FLAIR MRI.
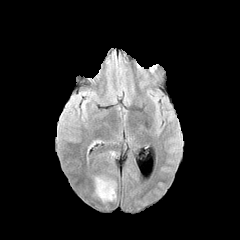
T1-weighted MR image.
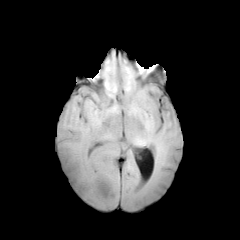
Post-contrast T1-weighted MR.
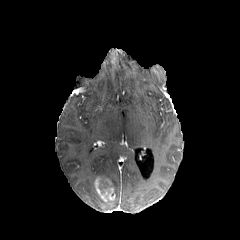
T2-weighted magnetic resonance.
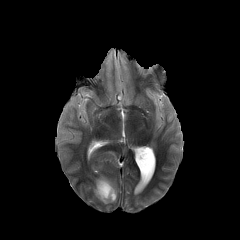
Head | Axial slice
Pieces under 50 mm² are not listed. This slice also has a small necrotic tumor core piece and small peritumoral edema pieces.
The enhancing tumor appears at [x1=94, y1=177, x2=115, y2=202].